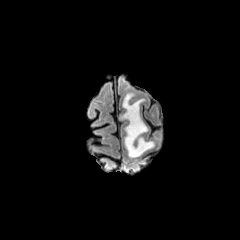
FLAIR MRI.
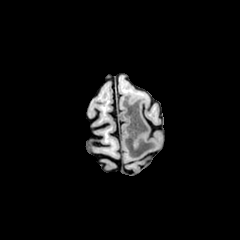
T1-weighted MRI of the same slice.
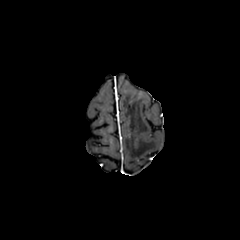
Post-contrast T1-weighted MR.
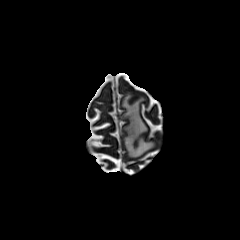
T2-weighted magnetic resonance.
Axial plane | 240x240 px
peritumoral edema: [121, 93, 155, 157]